FLAIR MR image.
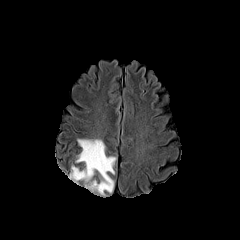
T1-weighted magnetic resonance.
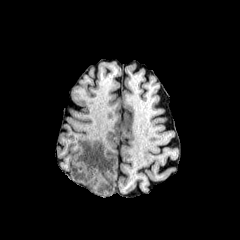
Post-contrast T1-weighted magnetic resonance.
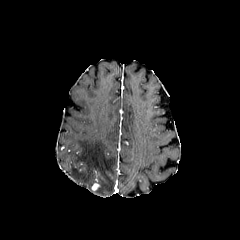
T2-weighted MRI.
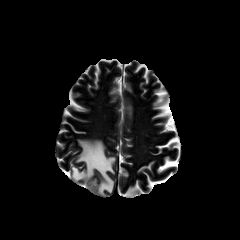
Head
* enhancing tumor: region(91, 183, 99, 191)
* peritumoral edema: region(70, 139, 116, 195)